Slice 118 of 155. 240x240 px. Axial slice. Brain.
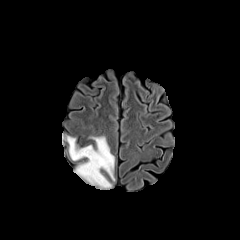
FLAIR MRI.
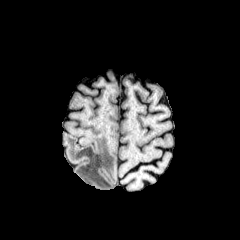
T1-weighted magnetic resonance.
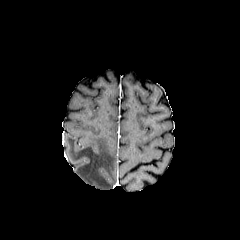
Post-contrast T1-weighted magnetic resonance of the same slice.
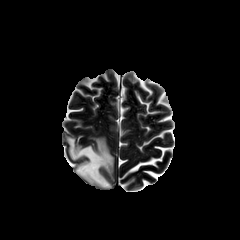
T2-weighted magnetic resonance.
<segmentation>
  <peritumoral_edema>65:136:114:188</peritumoral_edema>
</segmentation>